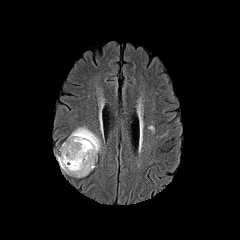
FLAIR MR.
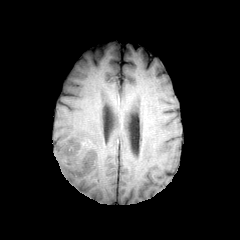
T1-weighted MRI of the same slice.
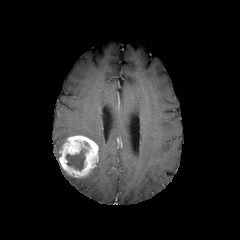
Post-contrast T1-weighted magnetic resonance.
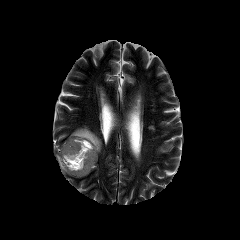
T2-weighted MR.
Axial slice
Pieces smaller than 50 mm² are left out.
enhancing tumor — <bbox>59, 135, 98, 177</bbox>
peritumoral edema — <bbox>69, 126, 101, 153</bbox>
necrotic tumor core — <bbox>66, 148, 86, 170</bbox>